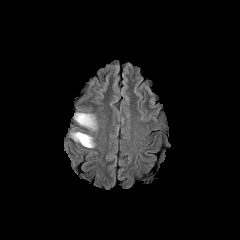
FLAIR magnetic resonance.
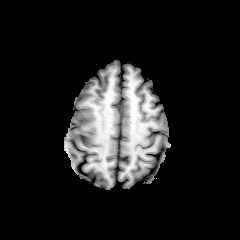
T1-weighted MRI of the same slice.
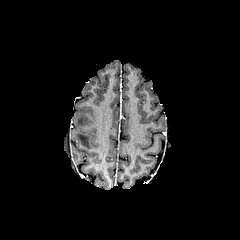
Post-contrast T1-weighted MR image.
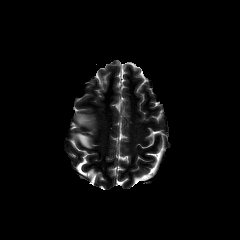
T2-weighted MRI of the same slice.
Brain
peritumoral edema: l=73, t=132, r=92, b=147; l=76, t=114, r=94, b=127